240x240, Axial slice, Image covers 240 mm x 240 mm, Brain, Slice 101/155
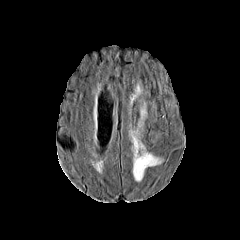
FLAIR magnetic resonance.
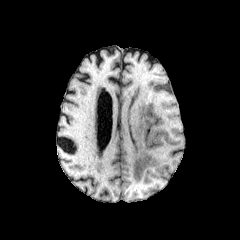
T1-weighted MR.
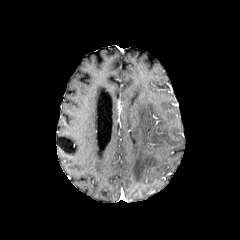
Post-contrast T1-weighted magnetic resonance.
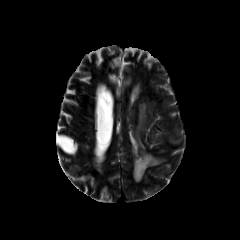
T2-weighted MR image of the same slice.
peritumoral edema: bounding box {"x1": 141, "y1": 106, "x2": 145, "y2": 119}, {"x1": 131, "y1": 132, "x2": 161, "y2": 181}